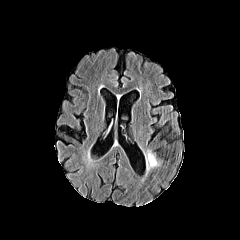
FLAIR MRI.
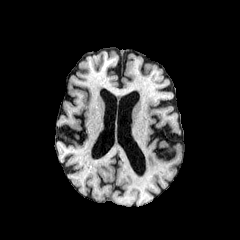
T1-weighted MR of the same slice.
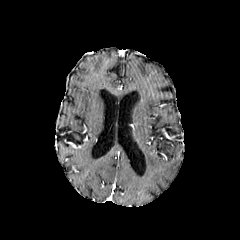
Post-contrast T1-weighted MR image of the same slice.
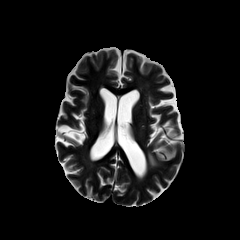
T2-weighted MRI of the same slice.
The peritumoral edema is bounded by box=[147, 151, 159, 168].